FLAIR magnetic resonance.
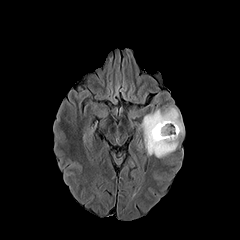
T1-weighted MR image.
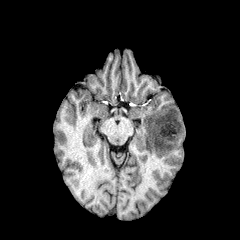
Post-contrast T1-weighted magnetic resonance.
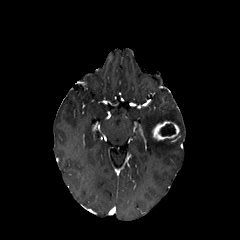
T2-weighted magnetic resonance.
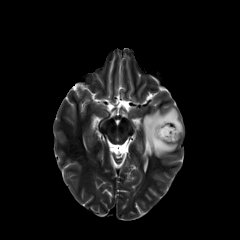
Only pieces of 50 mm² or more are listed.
necrotic tumor core: x1=159, y1=124, x2=175, y2=136 | enhancing tumor: x1=152, y1=121, x2=179, y2=140 | peritumoral edema: x1=142, y1=104, x2=184, y2=157